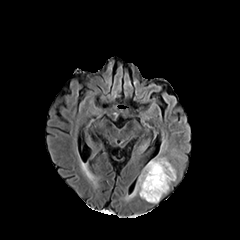
FLAIR MR image.
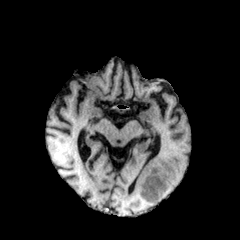
T1-weighted magnetic resonance.
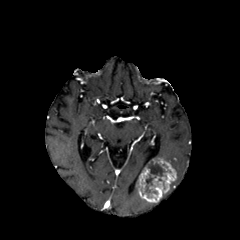
Post-contrast T1-weighted MRI.
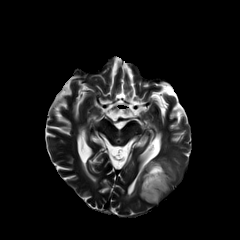
Same slice, T2-weighted MR image.
Brain. Axial slice.
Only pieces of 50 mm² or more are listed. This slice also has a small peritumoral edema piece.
{"enhancing_tumor": ["136,157,176,202"], "necrotic_tumor_core": ["149,163,163,176", "145,175,152,193"]}